240x240, Brain, Axial plane, Image width 240 mm
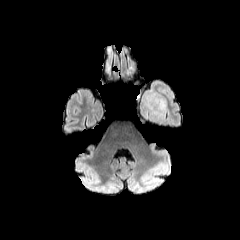
FLAIR magnetic resonance.
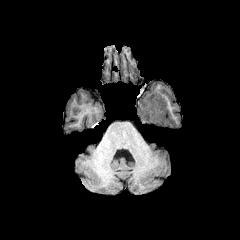
T1-weighted MR.
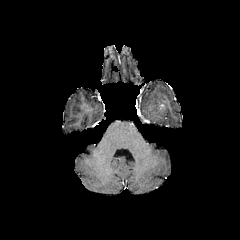
Post-contrast T1-weighted MR.
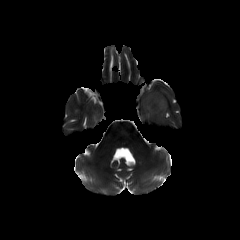
T2-weighted magnetic resonance.
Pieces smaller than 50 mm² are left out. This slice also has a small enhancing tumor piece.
The peritumoral edema is bounded by bbox(139, 91, 166, 123).